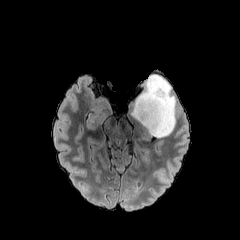
FLAIR magnetic resonance.
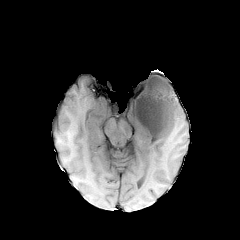
Same slice, T1-weighted magnetic resonance.
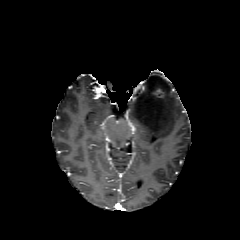
Same slice, post-contrast T1-weighted magnetic resonance.
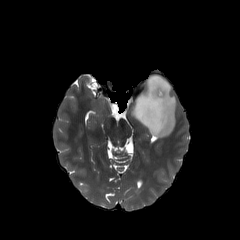
T2-weighted MR image.
Brain
Segmented structures:
• enhancing tumor: [x1=152, y1=89, x2=163, y2=97]
• peritumoral edema: [x1=127, y1=74, x2=176, y2=138]